Axial view
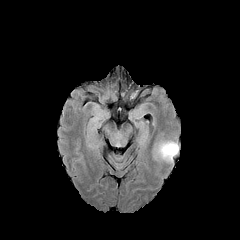
FLAIR MR.
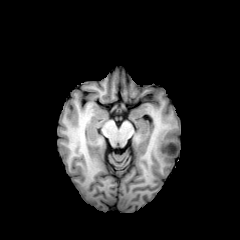
T1-weighted MR image of the same slice.
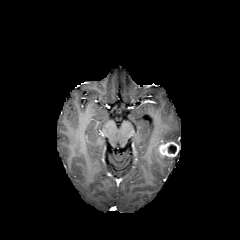
Same slice, post-contrast T1-weighted MR image.
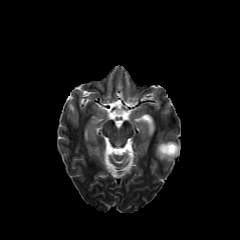
Same slice, T2-weighted magnetic resonance.
peritumoral_edema:
  - 156 141 173 161
necrotic_tumor_core:
  - 168 145 176 153
enhancing_tumor:
  - 158 142 179 157